Slice 66 of 155, Head
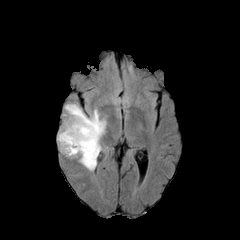
FLAIR MRI.
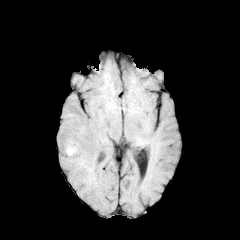
T1-weighted MRI.
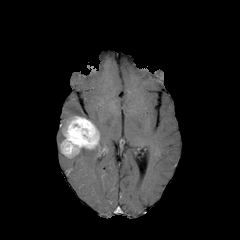
Post-contrast T1-weighted MR image.
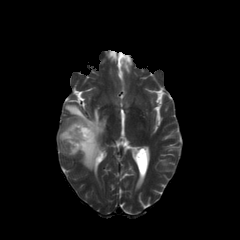
Same slice, T2-weighted MRI.
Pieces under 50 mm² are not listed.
enhancing tumor = (60,116,99,157)
peritumoral edema = (57,103,106,170)